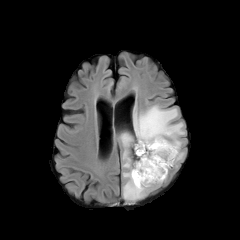
FLAIR magnetic resonance.
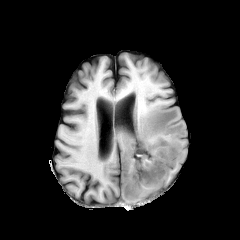
T1-weighted MR of the same slice.
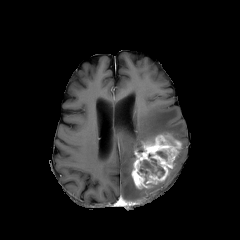
Post-contrast T1-weighted magnetic resonance of the same slice.
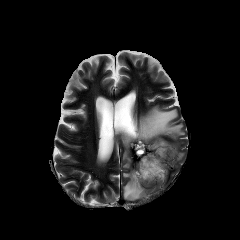
Same slice, T2-weighted magnetic resonance.
Head | Axial view | Image size 240x240
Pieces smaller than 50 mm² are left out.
Findings:
- enhancing tumor: <box>131,133,181,189</box>
- necrotic tumor core: <box>141,160,153,172</box>
- peritumoral edema: <box>175,151,184,164</box>, <box>133,105,184,147</box>, <box>120,133,151,200</box>